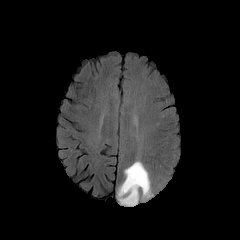
FLAIR MR.
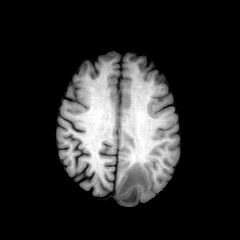
T1-weighted MRI.
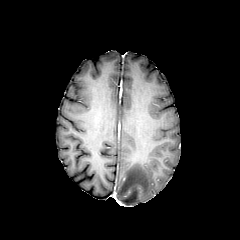
Same slice, post-contrast T1-weighted MR.
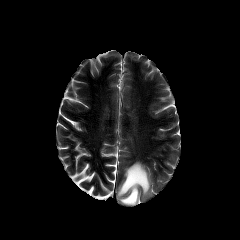
T2-weighted magnetic resonance.
Brain.
peritumoral_edema:
  - {"x1": 117, "y1": 161, "x2": 152, "y2": 205}